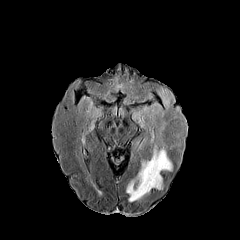
FLAIR MRI.
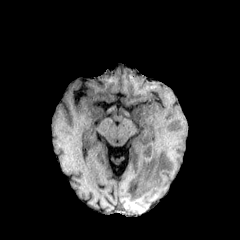
T1-weighted MRI of the same slice.
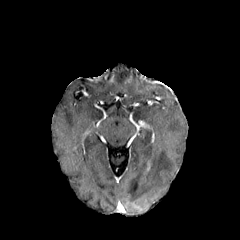
Post-contrast T1-weighted MRI of the same slice.
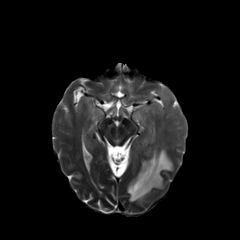
T2-weighted MR image of the same slice.
Head, 240x240 px
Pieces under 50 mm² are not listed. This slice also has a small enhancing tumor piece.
peritumoral edema — x1=127, y1=89, x2=186, y2=201